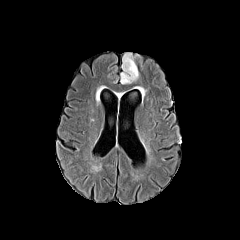
FLAIR magnetic resonance.
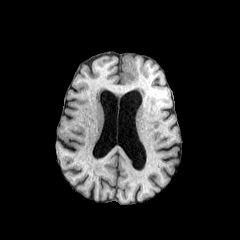
T1-weighted MR image of the same slice.
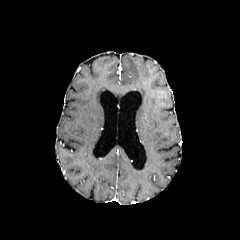
Post-contrast T1-weighted MR image of the same slice.
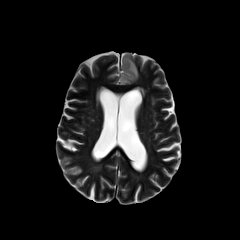
T2-weighted MR.
Axial slice | Image size 240x240
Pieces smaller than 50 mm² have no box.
Annotated regions:
• peritumoral edema: [x1=121, y1=53, x2=138, y2=84]